Brain. Image size 240x240.
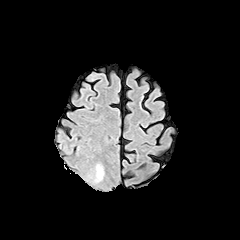
FLAIR MRI.
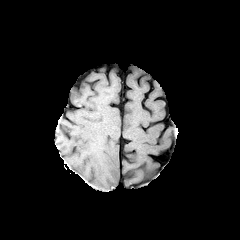
T1-weighted MR.
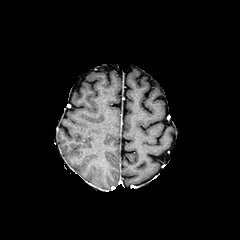
Post-contrast T1-weighted MR image.
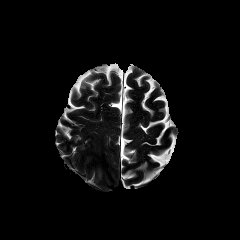
T2-weighted MRI.
The peritumoral edema is located at x1=97 y1=166 x2=103 y2=179.